Axial slice; Slice 58/155; 240x240 px
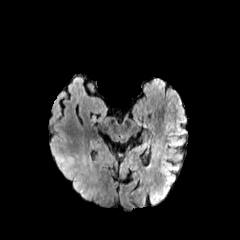
FLAIR MR image.
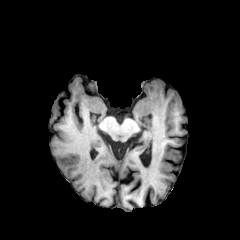
T1-weighted magnetic resonance.
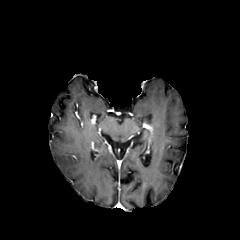
Post-contrast T1-weighted magnetic resonance.
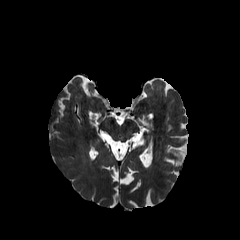
T2-weighted MR image.
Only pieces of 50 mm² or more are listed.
peritumoral edema — 50,125,93,199